Axial slice
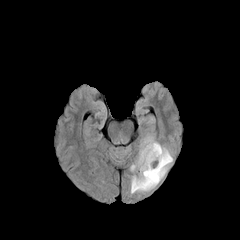
FLAIR magnetic resonance.
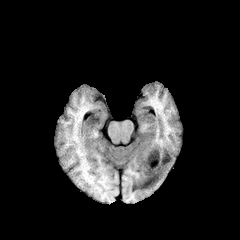
T1-weighted MRI.
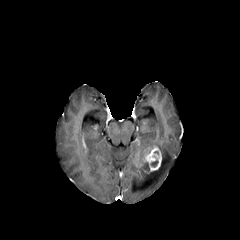
Same slice, post-contrast T1-weighted MR image.
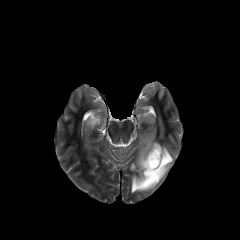
T2-weighted MR image.
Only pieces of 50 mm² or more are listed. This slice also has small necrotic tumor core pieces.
<segmentation>
  <enhancing_tumor>138 146 162 173</enhancing_tumor>
  <peritumoral_edema>130 135 173 193</peritumoral_edema>
</segmentation>